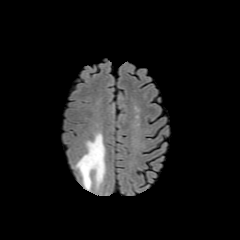
FLAIR MR.
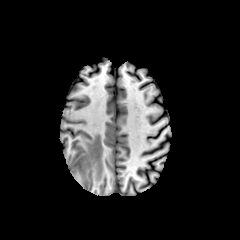
Same slice, T1-weighted magnetic resonance.
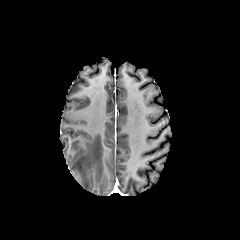
Post-contrast T1-weighted MR of the same slice.
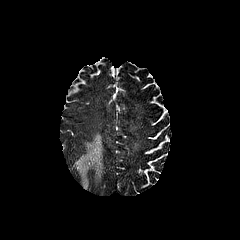
T2-weighted MRI.
peritumoral edema at (76, 133, 105, 189)